Axial plane, Head
FLAIR MRI.
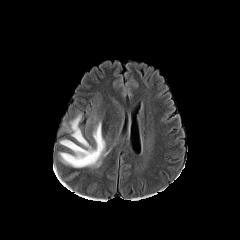
T1-weighted magnetic resonance.
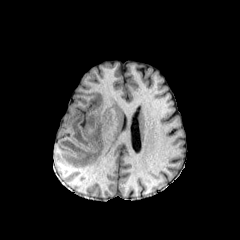
Post-contrast T1-weighted MR.
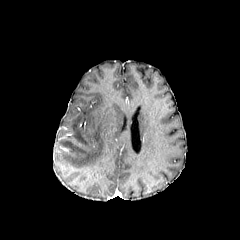
T2-weighted magnetic resonance.
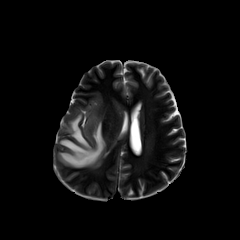
Annotated regions:
• peritumoral edema: l=59, t=114, r=108, b=167